Image width 240 mm
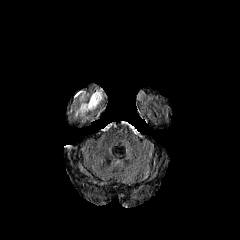
FLAIR MR.
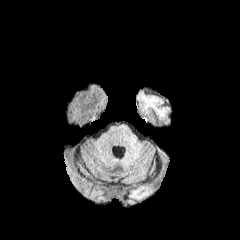
T1-weighted MR.
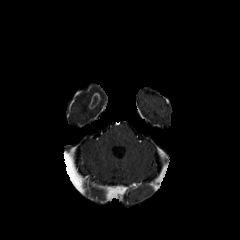
Same slice, post-contrast T1-weighted MRI.
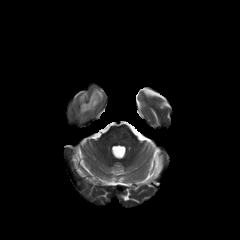
T2-weighted magnetic resonance.
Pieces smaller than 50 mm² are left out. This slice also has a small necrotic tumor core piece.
The enhancing tumor is bounded by 89,92,100,109. The largest peritumoral edema region is at 75,92,96,116.